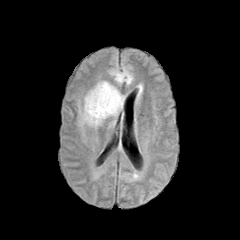
FLAIR MR image.
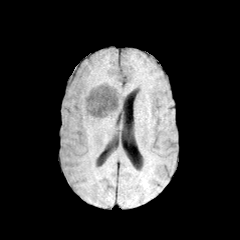
T1-weighted MRI of the same slice.
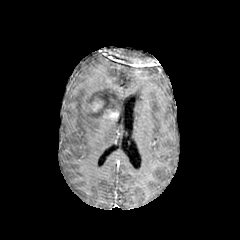
Post-contrast T1-weighted magnetic resonance of the same slice.
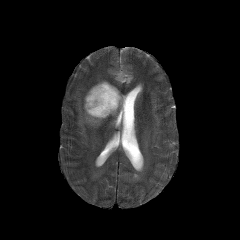
T2-weighted MRI.
Axial view. Brain.
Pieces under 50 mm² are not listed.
The 2 largest peritumoral edema regions are bounded by (109, 67, 133, 85), (79, 80, 125, 128). The 2 largest enhancing tumor regions are bounded by (96, 104, 118, 118), (87, 86, 114, 116). The necrotic tumor core is at (89, 90, 117, 116).